Head, Slice index 72
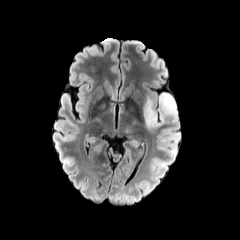
FLAIR MRI.
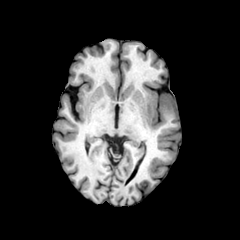
T1-weighted MRI.
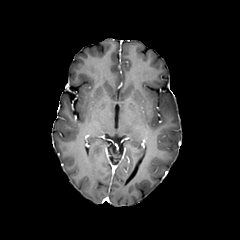
Same slice, post-contrast T1-weighted magnetic resonance.
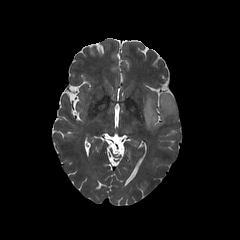
Same slice, T2-weighted MRI.
peritumoral_edema:
  - 122, 125, 134, 138
  - 142, 92, 177, 128